Image width 240 mm, Slice 32 of 155
FLAIR MR.
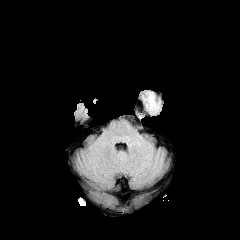
T1-weighted MRI.
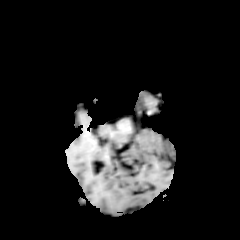
Post-contrast T1-weighted MRI.
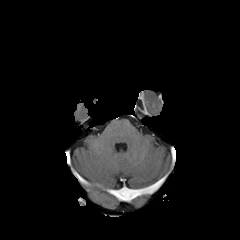
T2-weighted MRI.
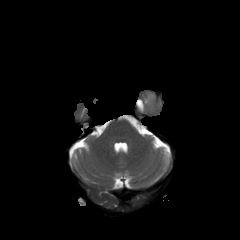
peritumoral edema: (142, 91, 157, 111)